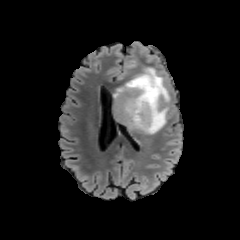
FLAIR MR.
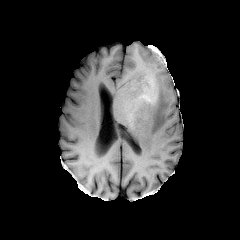
T1-weighted magnetic resonance of the same slice.
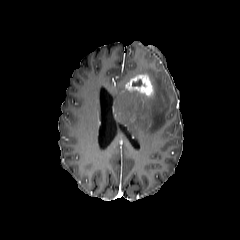
Post-contrast T1-weighted MR image of the same slice.
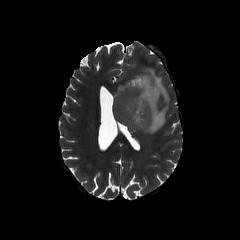
T2-weighted MR image of the same slice.
Axial slice.
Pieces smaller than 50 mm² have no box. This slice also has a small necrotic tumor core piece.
The largest peritumoral edema region is at rect(113, 67, 169, 133). The enhancing tumor is located at rect(125, 74, 154, 97).